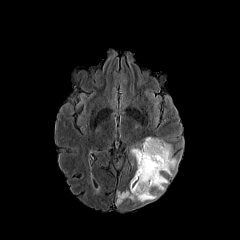
FLAIR magnetic resonance.
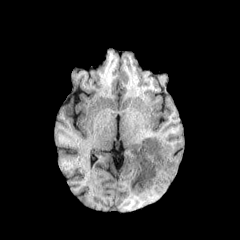
T1-weighted MR.
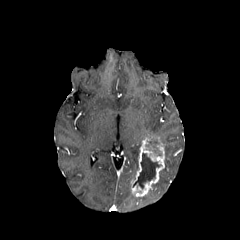
Post-contrast T1-weighted magnetic resonance.
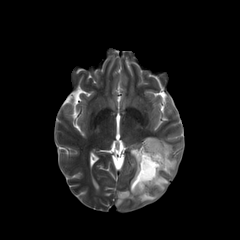
Same slice, T2-weighted MR image.
Image size 240x240
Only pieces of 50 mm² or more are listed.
The enhancing tumor is bounded by 130, 137, 165, 196. The 4 largest peritumoral edema regions are bounded by 116, 184, 159, 205; 161, 139, 178, 176; 152, 172, 168, 191; 130, 148, 139, 167. The largest necrotic tumor core region is at 133, 153, 160, 188.